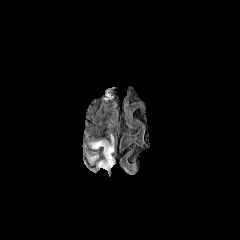
FLAIR MR image.
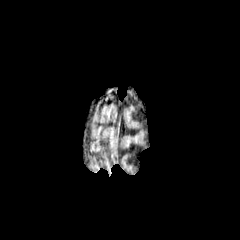
T1-weighted MR image of the same slice.
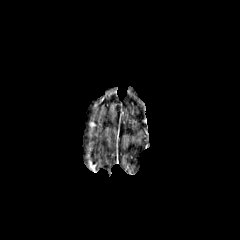
Post-contrast T1-weighted MR.
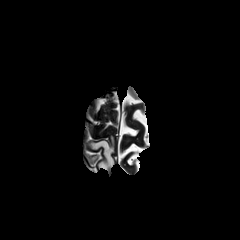
T2-weighted MRI.
Axial slice
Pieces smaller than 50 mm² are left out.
The largest peritumoral edema region is bounded by region(89, 139, 115, 169).